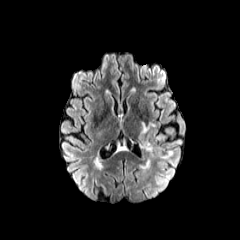
FLAIR MRI.
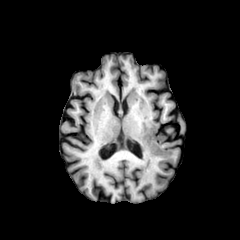
T1-weighted MR of the same slice.
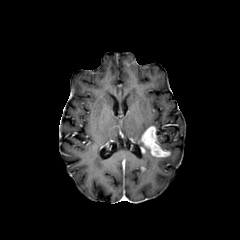
Post-contrast T1-weighted MR image.
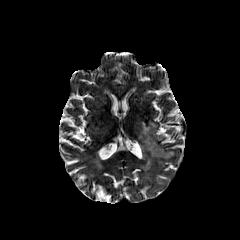
Same slice, T2-weighted magnetic resonance.
Axial slice
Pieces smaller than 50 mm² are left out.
peritumoral edema = bbox=[141, 159, 150, 169]; bbox=[139, 122, 155, 139]
enhancing tumor = bbox=[141, 126, 170, 157]